Slice index 76
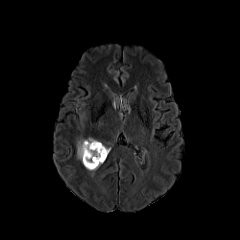
FLAIR MR.
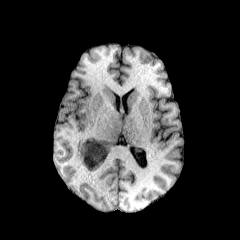
T1-weighted MR image.
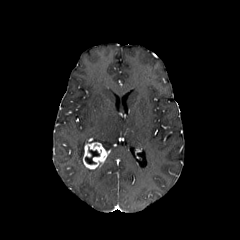
Same slice, post-contrast T1-weighted MR image.
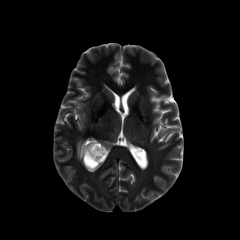
T2-weighted magnetic resonance of the same slice.
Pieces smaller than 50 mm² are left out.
necrotic tumor core = x1=85 y1=147 x2=99 y2=164
enhancing tumor = x1=83 y1=142 x2=109 y2=169
peritumoral edema = x1=77 y1=139 x2=98 y2=162